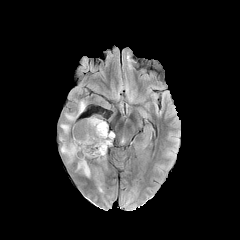
FLAIR magnetic resonance.
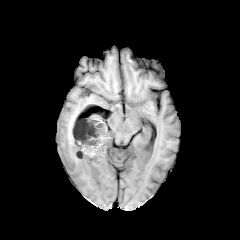
T1-weighted MR image of the same slice.
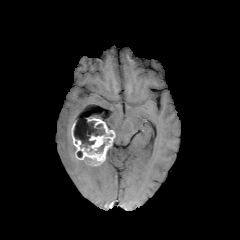
Post-contrast T1-weighted MR image of the same slice.
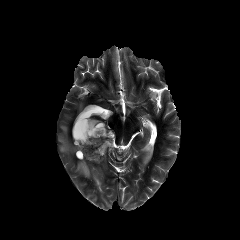
Same slice, T2-weighted MR image.
Axial plane
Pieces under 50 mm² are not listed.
The 6 largest peritumoral edema regions appear at bbox=[79, 101, 84, 113]; bbox=[77, 160, 91, 177]; bbox=[65, 114, 77, 121]; bbox=[59, 136, 76, 161]; bbox=[94, 168, 100, 188]; bbox=[60, 124, 69, 134]. The enhancing tumor is located at bbox=[71, 117, 115, 166]. The largest necrotic tumor core region is at bbox=[74, 118, 105, 152].